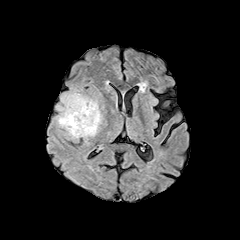
FLAIR MR.
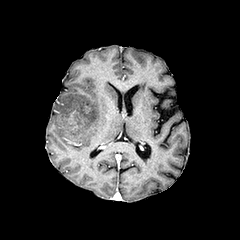
T1-weighted MRI.
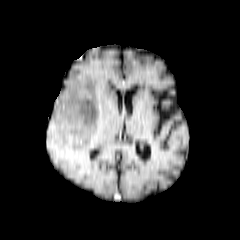
Post-contrast T1-weighted MR image.
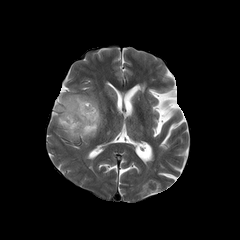
Same slice, T2-weighted magnetic resonance.
Brain; Axial slice
The peritumoral edema is at box(56, 91, 102, 142). The necrotic tumor core appears at box(60, 118, 82, 135).